Image covers 240 mm x 240 mm | Head
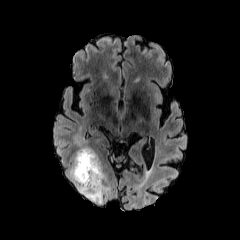
FLAIR MRI.
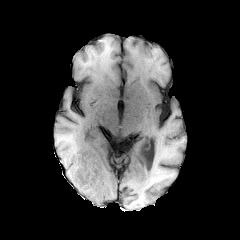
T1-weighted MRI.
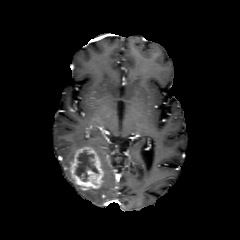
Same slice, post-contrast T1-weighted MR image.
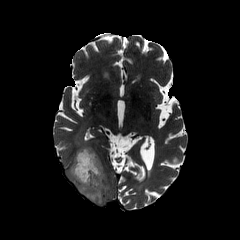
T2-weighted magnetic resonance.
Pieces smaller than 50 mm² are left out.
<segmentation>
  <necrotic_tumor_core>[75, 150, 98, 181]</necrotic_tumor_core>
  <enhancing_tumor>[71, 147, 103, 190]</enhancing_tumor>
  <peritumoral_edema>[67, 166, 109, 204]</peritumoral_edema>
</segmentation>